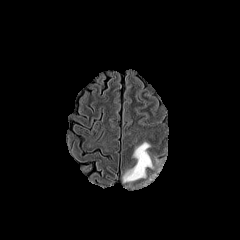
FLAIR MR image.
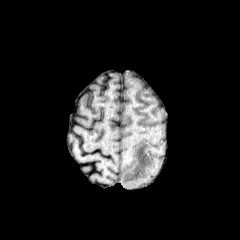
T1-weighted MR image.
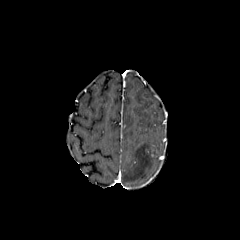
Post-contrast T1-weighted MRI.
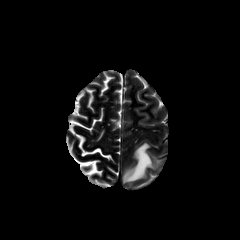
T2-weighted MR.
Head
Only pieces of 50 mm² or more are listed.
The largest peritumoral edema region appears at x1=122 y1=142 x2=153 y2=182.